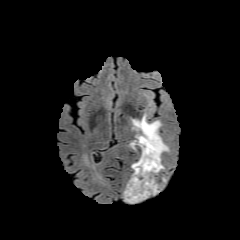
FLAIR magnetic resonance.
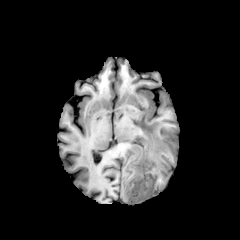
T1-weighted magnetic resonance.
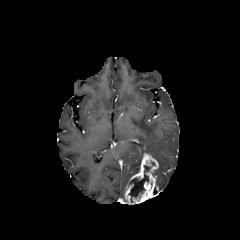
Post-contrast T1-weighted MRI of the same slice.
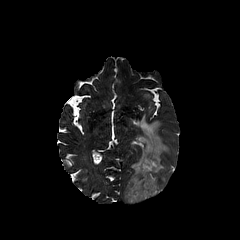
T2-weighted MR image.
Image size 240x240 | Axial view | Brain
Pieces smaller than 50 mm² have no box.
necrotic tumor core — x1=129 y1=165 x2=150 y2=202
peritumoral edema — x1=131 y1=114 x2=169 y2=175
enhancing tumor — x1=124 y1=153 x2=159 y2=204